FLAIR MRI.
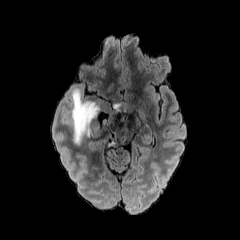
T1-weighted MR.
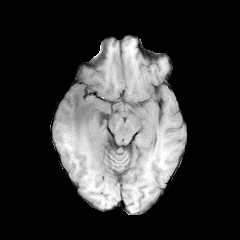
Post-contrast T1-weighted MR.
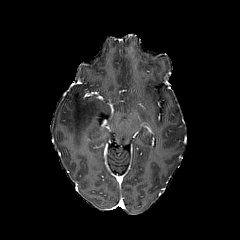
T2-weighted MRI.
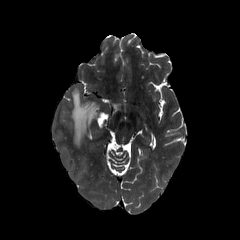
Brain
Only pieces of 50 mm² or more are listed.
Segmented structures:
• peritumoral edema: (x1=113, y1=103, x2=121, y2=112), (x1=71, y1=88, x2=102, y2=145)